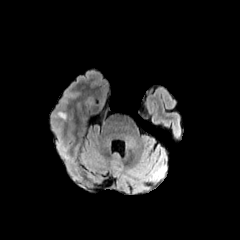
FLAIR magnetic resonance.
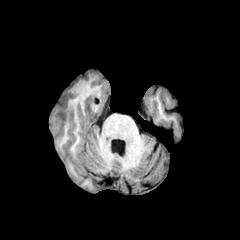
T1-weighted MRI.
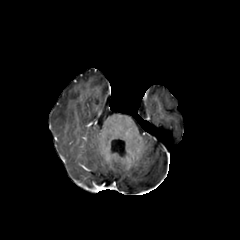
Post-contrast T1-weighted MR image.
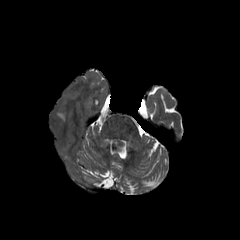
Same slice, T2-weighted MR image.
Axial plane; Brain
peritumoral edema at region(57, 112, 66, 119)